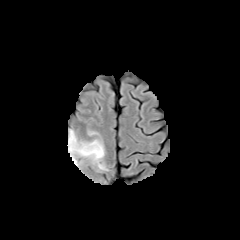
FLAIR MRI.
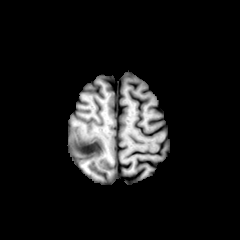
Same slice, T1-weighted magnetic resonance.
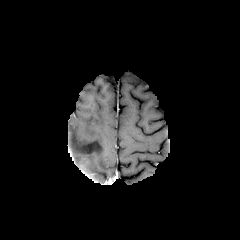
Post-contrast T1-weighted MR of the same slice.
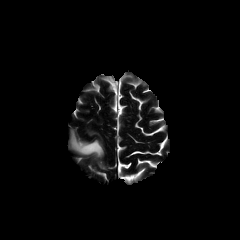
T2-weighted MR image of the same slice.
Image size 240x240, Brain
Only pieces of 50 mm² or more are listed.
peritumoral edema: box(68, 129, 107, 170)